FLAIR MR image.
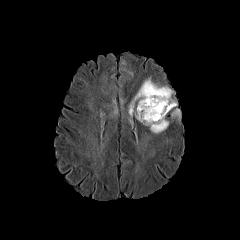
T1-weighted magnetic resonance.
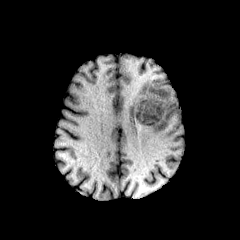
Post-contrast T1-weighted MRI.
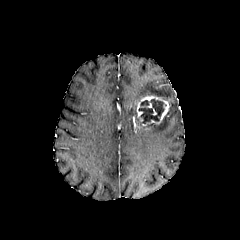
T2-weighted MRI.
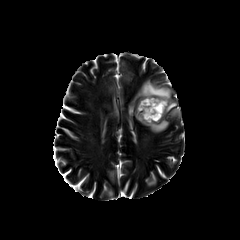
240x240 px; Axial slice
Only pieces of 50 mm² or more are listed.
necrotic tumor core: [x1=139, y1=99, x2=163, y2=123] | peritumoral edema: [x1=147, y1=117, x2=169, y2=133], [x1=169, y1=99, x2=180, y2=120], [x1=128, y1=78, x2=173, y2=120] | enhancing tumor: [x1=136, y1=95, x2=173, y2=125]